Slice 97/155, Head, Image size 240x240
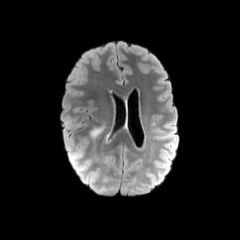
FLAIR MRI.
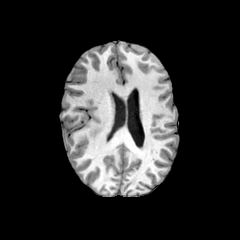
T1-weighted MRI of the same slice.
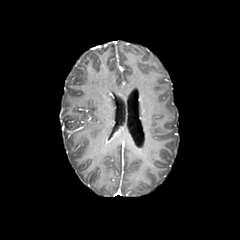
Post-contrast T1-weighted magnetic resonance.
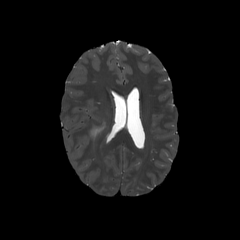
T2-weighted MR image of the same slice.
The peritumoral edema appears at rect(91, 127, 102, 137).